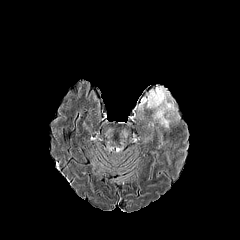
FLAIR MR image.
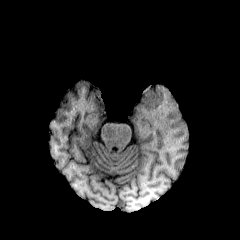
T1-weighted MR of the same slice.
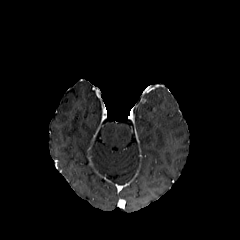
Post-contrast T1-weighted magnetic resonance.
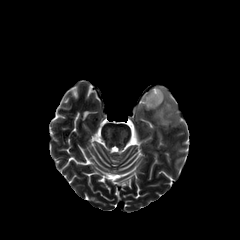
T2-weighted magnetic resonance.
240x240
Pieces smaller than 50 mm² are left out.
peritumoral_edema:
  - box=[144, 87, 175, 127]